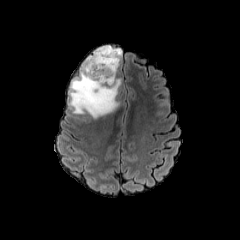
FLAIR MR.
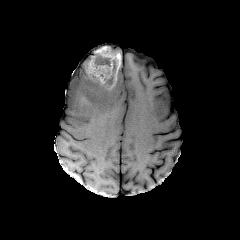
T1-weighted magnetic resonance of the same slice.
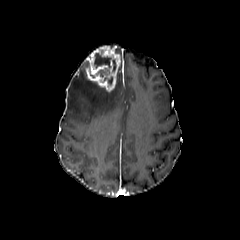
Same slice, post-contrast T1-weighted MR.
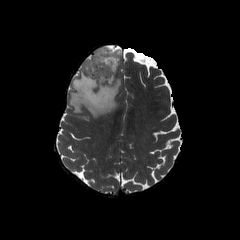
T2-weighted MR image.
Axial plane. Head. 240x240.
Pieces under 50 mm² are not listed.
The largest peritumoral edema region is bounded by (69, 63, 121, 118). The enhancing tumor is bounded by (84, 45, 120, 92). The largest necrotic tumor core region appears at (94, 53, 111, 67).